Axial view
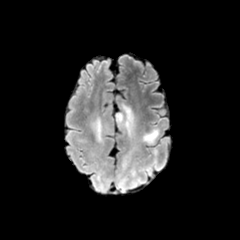
FLAIR MR image.
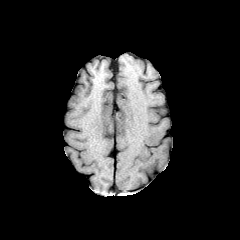
Same slice, T1-weighted magnetic resonance.
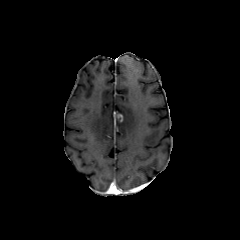
Post-contrast T1-weighted MR of the same slice.
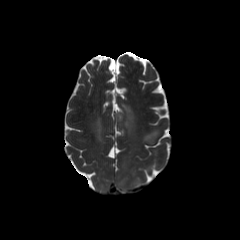
T2-weighted MR of the same slice.
enhancing tumor: bbox=[115, 114, 122, 121] | peritumoral edema: bbox=[118, 103, 135, 135]; bbox=[143, 130, 158, 143]; bbox=[93, 118, 102, 141]